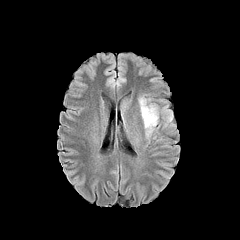
FLAIR magnetic resonance.
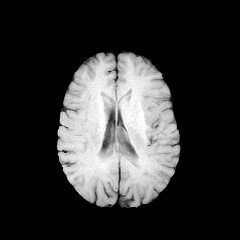
Same slice, T1-weighted MRI.
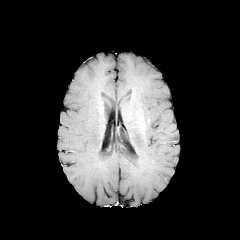
Post-contrast T1-weighted MRI.
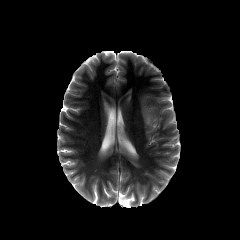
T2-weighted MR image of the same slice.
Head; Axial view
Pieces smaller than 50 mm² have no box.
peritumoral edema: {"x1": 140, "y1": 99, "x2": 157, "y2": 128}